Image width 240 mm.
FLAIR magnetic resonance.
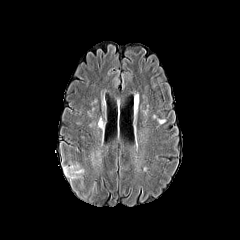
T1-weighted magnetic resonance.
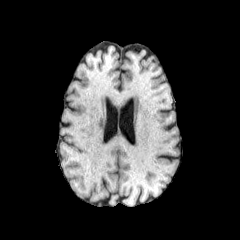
Post-contrast T1-weighted MRI.
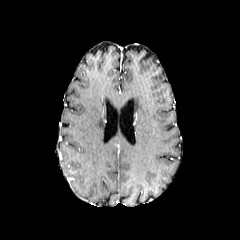
T2-weighted MR.
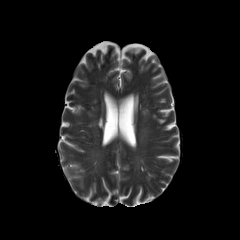
Findings:
- peritumoral edema: l=63, t=163, r=83, b=178